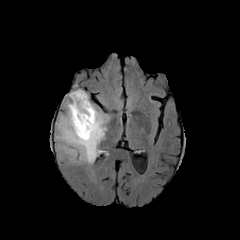
FLAIR MR image.
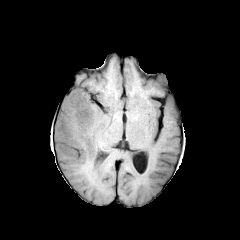
Same slice, T1-weighted MRI.
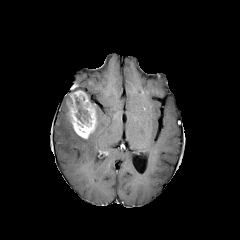
Same slice, post-contrast T1-weighted MR image.
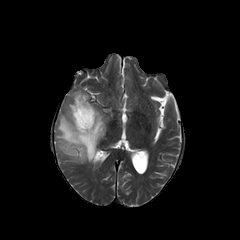
Same slice, T2-weighted magnetic resonance.
Axial plane. 240x240. Brain.
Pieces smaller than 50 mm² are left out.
<segmentation>
  <enhancing_tumor>(x1=67, y1=90, x2=97, y2=139)</enhancing_tumor>
  <necrotic_tumor_core>(x1=76, y1=107, x2=86, y2=121)</necrotic_tumor_core>
  <peritumoral_edema>(x1=55, y1=102, x2=108, y2=163)</peritumoral_edema>
</segmentation>